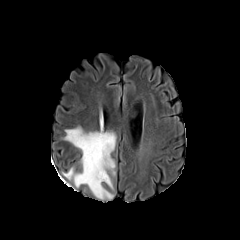
FLAIR MRI.
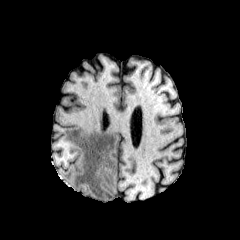
T1-weighted MRI.
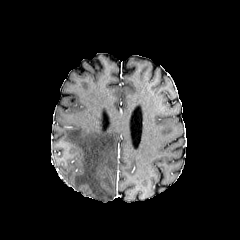
Same slice, post-contrast T1-weighted MR image.
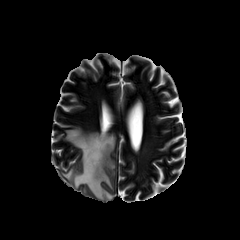
T2-weighted MR.
Axial slice
Findings:
• peritumoral edema: (left=62, top=127, right=116, bottom=199)